Slice 102/155
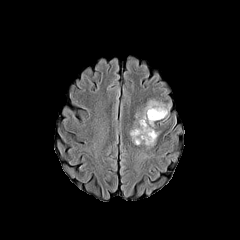
FLAIR MR.
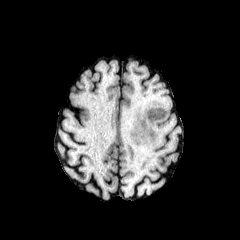
T1-weighted MRI.
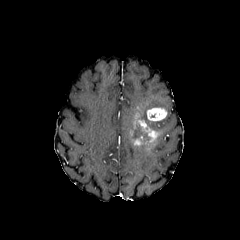
Post-contrast T1-weighted MRI.
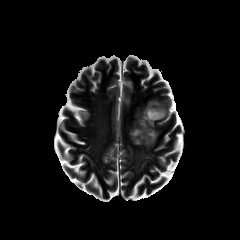
T2-weighted MRI.
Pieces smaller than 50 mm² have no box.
necrotic tumor core = 141:133:150:143
enhancing tumor = 133:136:143:145, 135:116:158:145, 147:107:167:121
peritumoral edema = 134:98:170:129, 138:152:154:162, 130:121:142:140